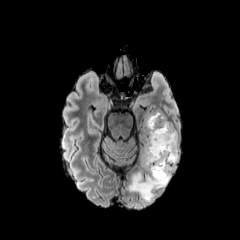
FLAIR MRI.
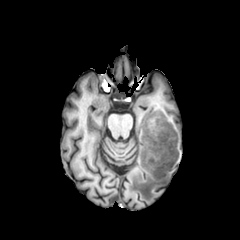
T1-weighted MR of the same slice.
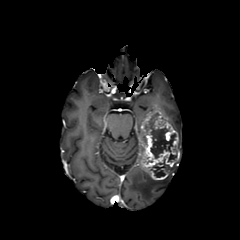
Post-contrast T1-weighted MRI.
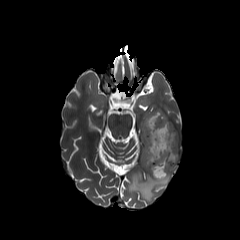
Same slice, T2-weighted MR image.
Axial plane, Head
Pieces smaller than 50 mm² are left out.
{"necrotic_tumor_core": ["region(151, 158, 169, 177)", "region(145, 113, 175, 158)"], "peritumoral_edema": ["region(129, 161, 178, 201)"], "enhancing_tumor": ["region(140, 109, 179, 180)"]}